Head. Slice 90/155.
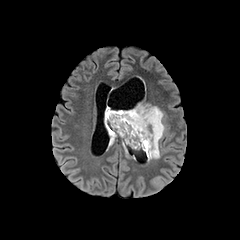
FLAIR MR.
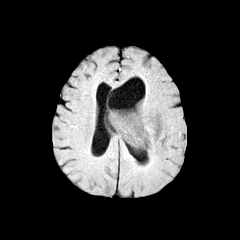
Same slice, T1-weighted magnetic resonance.
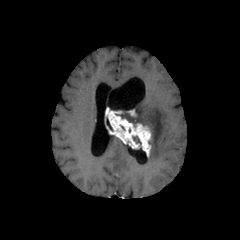
Post-contrast T1-weighted magnetic resonance of the same slice.
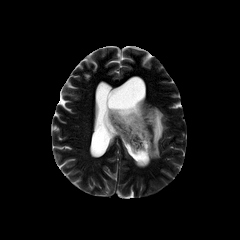
T2-weighted MR.
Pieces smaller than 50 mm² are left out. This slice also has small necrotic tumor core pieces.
enhancing tumor = [105,107,151,157]
peritumoral edema = [108,134,116,148], [116,103,165,160]